240x240. Head. Slice 106/155.
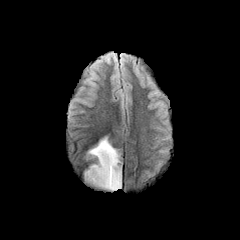
FLAIR magnetic resonance.
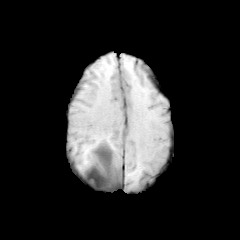
Same slice, T1-weighted MR image.
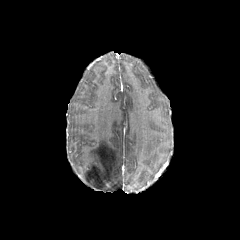
Same slice, post-contrast T1-weighted MR.
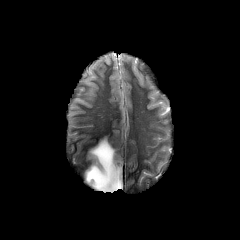
T2-weighted MR image.
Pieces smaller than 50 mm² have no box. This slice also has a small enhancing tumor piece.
peritumoral edema at rect(84, 137, 121, 190)